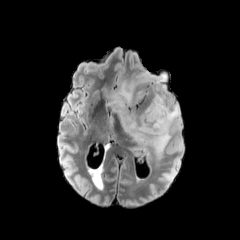
FLAIR MR image.
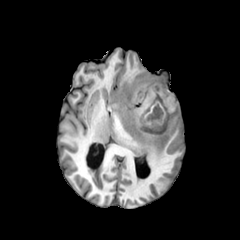
T1-weighted MRI of the same slice.
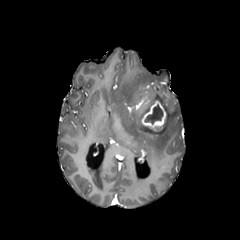
Same slice, post-contrast T1-weighted MRI.
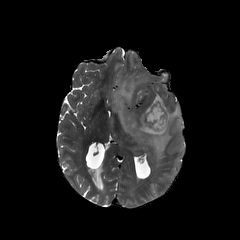
T2-weighted MRI of the same slice.
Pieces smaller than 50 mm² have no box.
enhancing_tumor:
  - (141,99,166,130)
necrotic_tumor_core:
  - (145,104,163,124)
peritumoral_edema:
  - (108,70,181,158)